Axial view | Slice 92/155 | Head | 240x240 | Image width 240 mm, 1.00 mm slice spacing
FLAIR magnetic resonance.
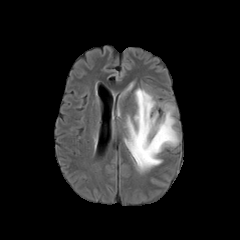
T1-weighted MR image.
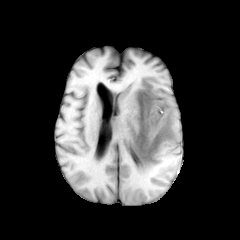
Post-contrast T1-weighted MRI.
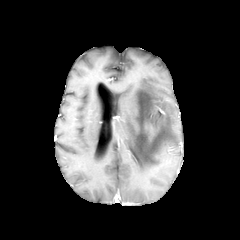
T2-weighted MRI.
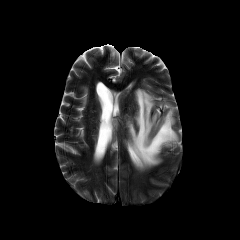
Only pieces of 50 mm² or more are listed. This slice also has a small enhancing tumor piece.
The largest peritumoral edema region is at 124, 88, 178, 172.